Image size 240x240 | Brain
FLAIR MRI.
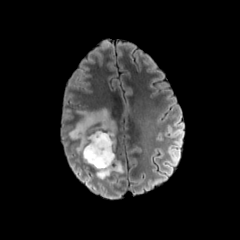
T1-weighted MR.
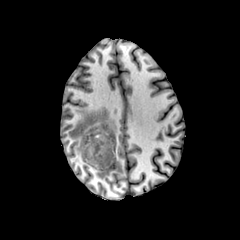
Post-contrast T1-weighted magnetic resonance.
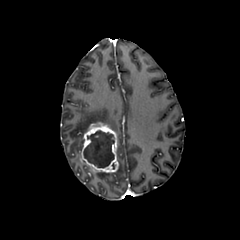
T2-weighted magnetic resonance.
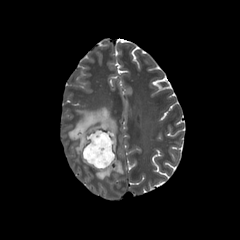
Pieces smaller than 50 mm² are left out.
• necrotic tumor core: (83, 130, 114, 167)
• peritumoral edema: (114, 160, 123, 173), (68, 108, 116, 152), (95, 172, 112, 179)
• enhancing tumor: (81, 122, 118, 172)